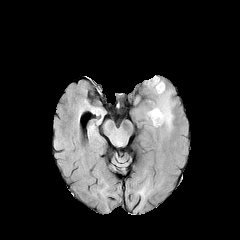
FLAIR MRI.
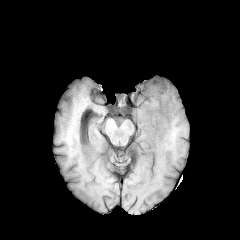
T1-weighted magnetic resonance of the same slice.
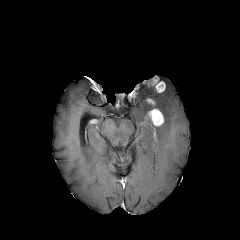
Same slice, post-contrast T1-weighted MR image.
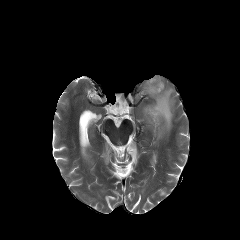
T2-weighted MR.
Brain; Axial plane
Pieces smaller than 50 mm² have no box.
The 3 largest enhancing tumor regions are located at left=147, top=108, right=163, bottom=126; left=155, top=81, right=165, bottom=92; left=147, top=77, right=160, bottom=86. The largest peritumoral edema region is bounded by left=145, top=79, right=174, bottom=131.